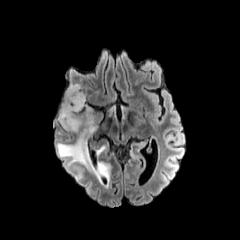
FLAIR MR image.
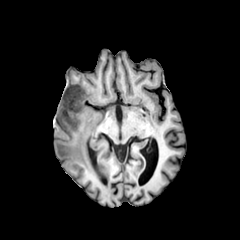
T1-weighted magnetic resonance.
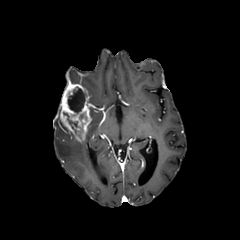
Post-contrast T1-weighted MRI of the same slice.
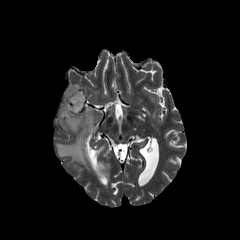
T2-weighted MR image.
Axial plane | Head
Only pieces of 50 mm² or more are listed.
peritumoral edema: bounding box (87, 108, 95, 132), (56, 140, 109, 178), (96, 145, 105, 156)
enhancing tumor: bounding box (59, 82, 91, 142)
necrotic tumor core: bounding box (68, 88, 85, 113), (64, 113, 77, 127)